FLAIR MR image.
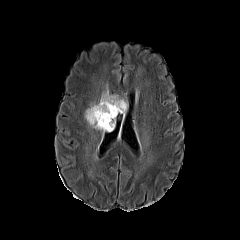
T1-weighted magnetic resonance.
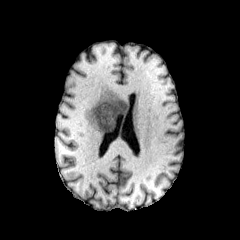
Post-contrast T1-weighted MRI.
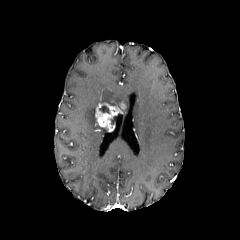
T2-weighted MR.
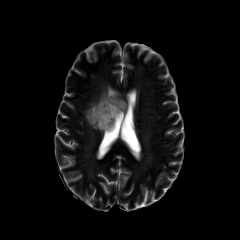
240x240. Brain. Axial plane.
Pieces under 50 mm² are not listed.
{"enhancing_tumor": ["box=[95, 102, 125, 131]"], "necrotic_tumor_core": ["box=[99, 105, 109, 113]"], "peritumoral_edema": ["box=[85, 88, 127, 133]"]}